Head
FLAIR MR.
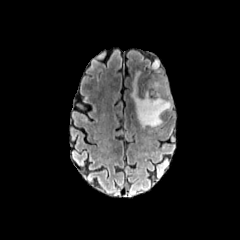
T1-weighted MRI.
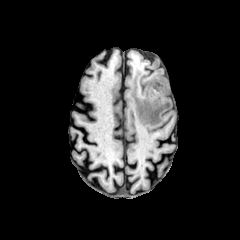
Post-contrast T1-weighted MR image.
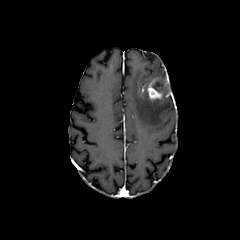
T2-weighted MR.
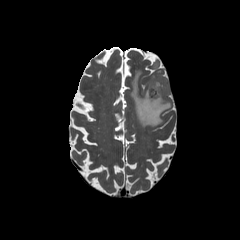
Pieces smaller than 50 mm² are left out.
enhancing tumor: (left=146, top=78, right=170, bottom=100) | necrotic tumor core: (left=152, top=82, right=162, bottom=92) | peritumoral edema: (left=131, top=71, right=171, bottom=127), (left=151, top=58, right=159, bottom=68)